Slice 91/155. Axial plane.
FLAIR MRI.
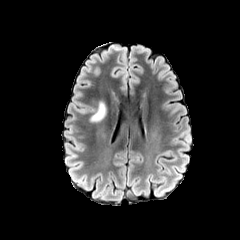
T1-weighted MR image.
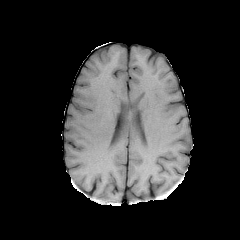
Post-contrast T1-weighted MR.
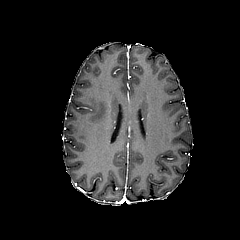
T2-weighted magnetic resonance.
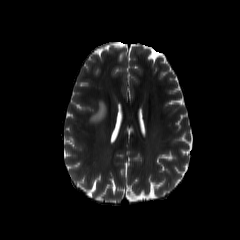
peritumoral edema at [x1=90, y1=101, x2=106, y2=122]